FLAIR magnetic resonance.
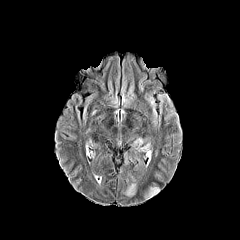
T1-weighted MR.
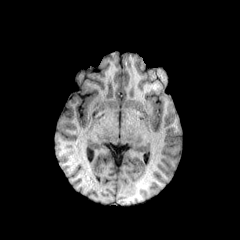
Post-contrast T1-weighted MR image.
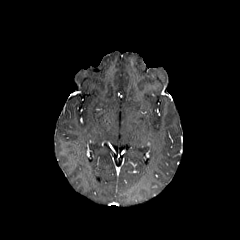
T2-weighted magnetic resonance.
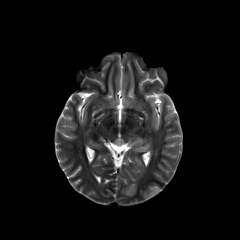
Axial plane, Brain, 240x240 px
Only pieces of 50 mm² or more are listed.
{
  "peritumoral_edema": [
    "<box>142,188,158,198</box>",
    "<box>133,138,143,145</box>",
    "<box>125,183,135,196</box>"
  ]
}